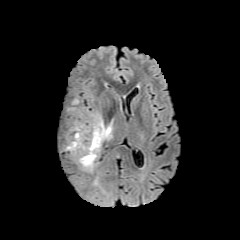
FLAIR MR image.
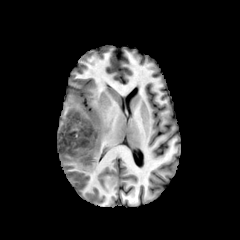
Same slice, T1-weighted magnetic resonance.
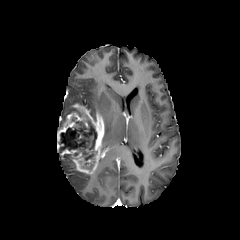
Same slice, post-contrast T1-weighted MRI.
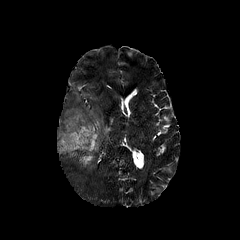
T2-weighted MR image.
Axial slice. Brain. Image size 240x240.
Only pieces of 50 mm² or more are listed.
The largest peritumoral edema region appears at [102,120,112,142]. The 2 largest necrotic tumor core regions appear at [82,161,94,170], [60,120,96,160]. The largest enhancing tumor region is located at [57,104,104,173].